Image size 240x240, Brain, Axial view
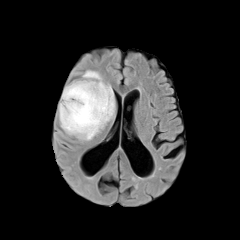
FLAIR MR.
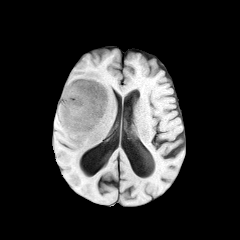
T1-weighted MR.
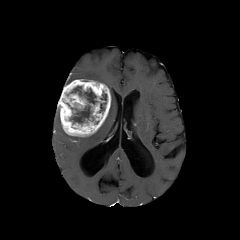
Same slice, post-contrast T1-weighted MR image.
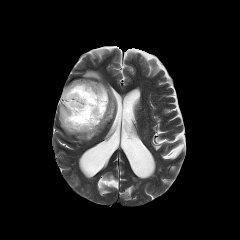
T2-weighted MR image.
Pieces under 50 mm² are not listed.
Annotated regions:
- necrotic tumor core: {"x1": 71, "y1": 86, "x2": 96, "y2": 103}, {"x1": 70, "y1": 105, "x2": 90, "y2": 123}
- peritumoral edema: {"x1": 83, "y1": 70, "x2": 104, "y2": 83}, {"x1": 76, "y1": 84, "x2": 114, "y2": 140}
- enhancing tumor: {"x1": 58, "y1": 79, "x2": 111, "y2": 136}